Axial plane. Head.
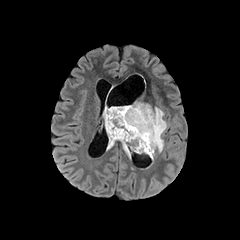
FLAIR MR image.
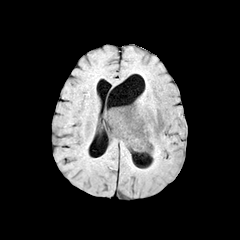
Same slice, T1-weighted MR image.
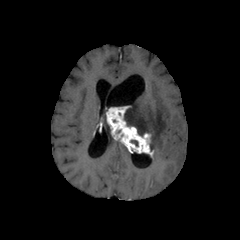
Same slice, post-contrast T1-weighted MR.
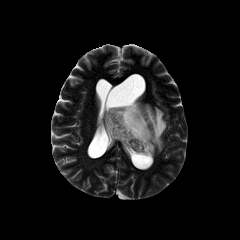
T2-weighted magnetic resonance.
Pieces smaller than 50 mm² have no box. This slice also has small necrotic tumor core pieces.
Segmented structures:
• peritumoral edema: {"x1": 124, "y1": 101, "x2": 166, "y2": 158}, {"x1": 103, "y1": 106, "x2": 115, "y2": 150}
• enhancing tumor: {"x1": 106, "y1": 105, "x2": 153, "y2": 156}